FLAIR MR.
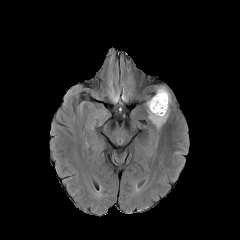
T1-weighted MR.
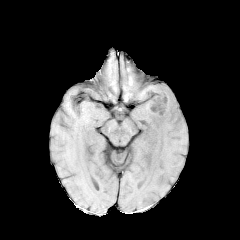
Post-contrast T1-weighted magnetic resonance.
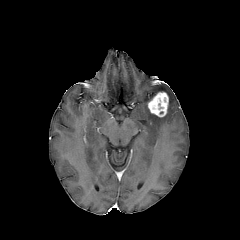
T2-weighted MR image.
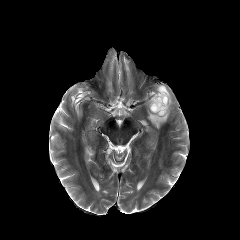
Axial slice
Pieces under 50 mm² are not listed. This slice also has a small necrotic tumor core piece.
- enhancing tumor: bbox=[148, 92, 168, 117]
- peritumoral edema: bbox=[147, 85, 172, 129]